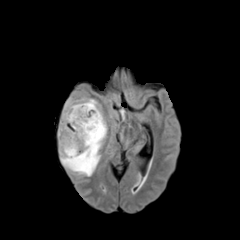
FLAIR MRI.
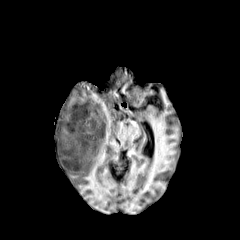
Same slice, T1-weighted MR.
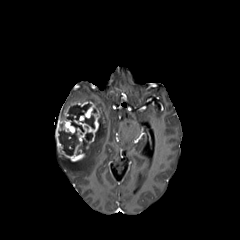
Same slice, post-contrast T1-weighted MRI.
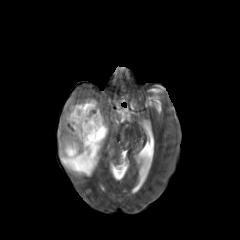
Same slice, T2-weighted magnetic resonance.
Axial slice | Head
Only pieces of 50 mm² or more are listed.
The 2 largest peritumoral edema regions are located at 80, 98, 100, 107; 60, 113, 107, 176. The largest enhancing tumor region lies within 56, 101, 100, 161. The 4 largest necrotic tumor core regions are located at 59, 130, 79, 155; 66, 103, 91, 132; 81, 115, 94, 128; 85, 133, 92, 141.